FLAIR MR image.
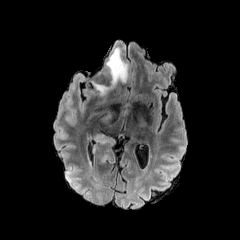
T1-weighted MR.
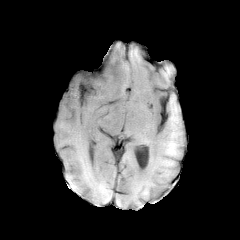
Post-contrast T1-weighted magnetic resonance.
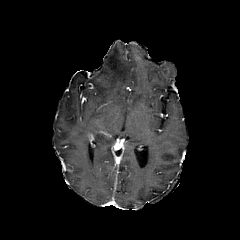
T2-weighted magnetic resonance.
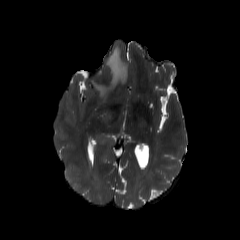
Head. Axial view.
Segmented structures:
• peritumoral edema: left=91, top=46, right=127, bottom=99